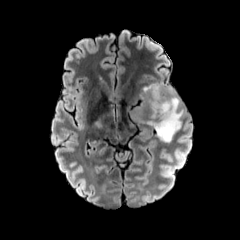
FLAIR MR.
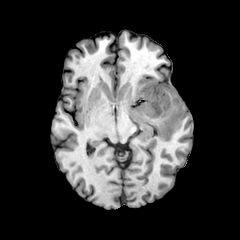
Same slice, T1-weighted MRI.
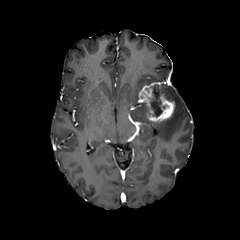
Post-contrast T1-weighted magnetic resonance of the same slice.
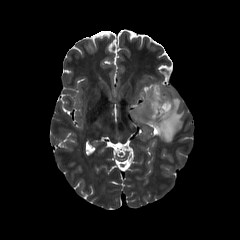
T2-weighted MR of the same slice.
Brain. Axial view.
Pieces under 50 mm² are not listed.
peritumoral edema — box=[134, 103, 146, 115]; box=[147, 82, 184, 141]
enhancing tumor — box=[138, 82, 174, 121]
necrotic tumor core — box=[150, 85, 162, 117]